Axial plane; Slice index 73
FLAIR MR.
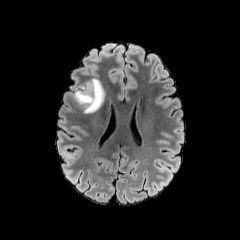
T1-weighted MRI.
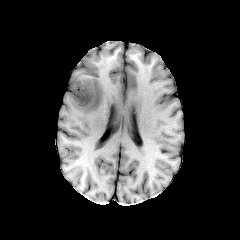
Post-contrast T1-weighted MRI.
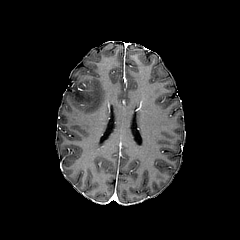
T2-weighted MR image.
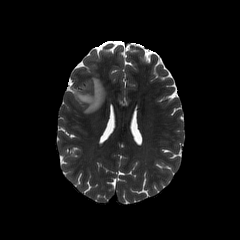
peritumoral edema — x1=72, y1=78, x2=105, y2=113